FLAIR MR.
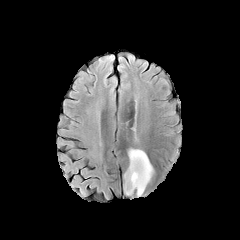
T1-weighted MRI.
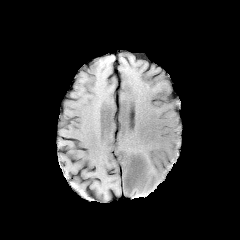
Post-contrast T1-weighted MR.
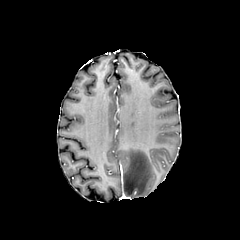
T2-weighted MR image.
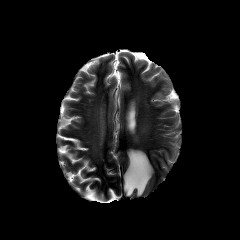
Head.
* peritumoral edema: [124,149,153,196]